FLAIR magnetic resonance.
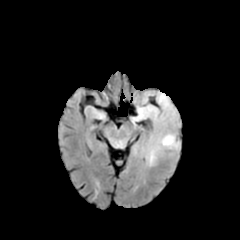
T1-weighted MR.
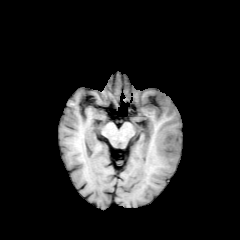
Post-contrast T1-weighted MR.
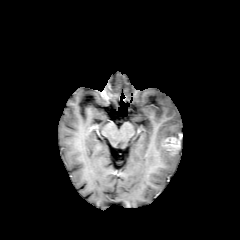
T2-weighted magnetic resonance.
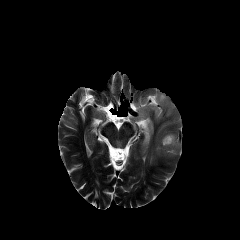
Axial slice. Head.
peritumoral edema: bbox(131, 91, 181, 165) | enhancing tumor: bbox(162, 136, 180, 154)